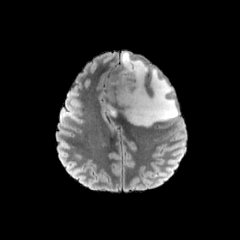
FLAIR MR.
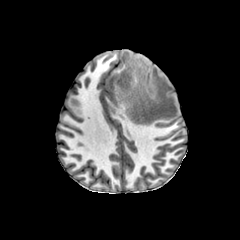
T1-weighted MR image of the same slice.
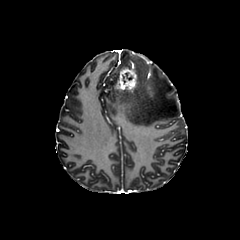
Same slice, post-contrast T1-weighted MR.
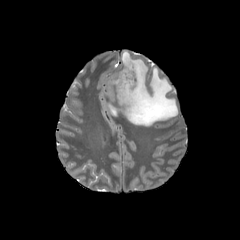
T2-weighted magnetic resonance of the same slice.
240x240 px; Brain
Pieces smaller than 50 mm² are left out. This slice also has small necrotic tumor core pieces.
peritumoral edema: bounding box bbox=[116, 52, 178, 126]; bbox=[108, 106, 116, 115]
enhancing tumor: bounding box bbox=[114, 62, 137, 92]